FLAIR MR.
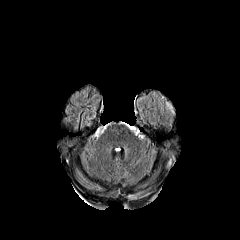
T1-weighted MR.
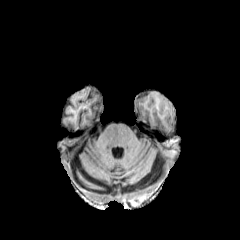
Post-contrast T1-weighted magnetic resonance.
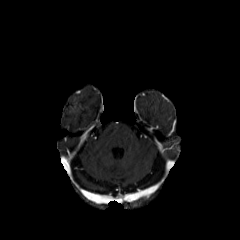
T2-weighted MR image.
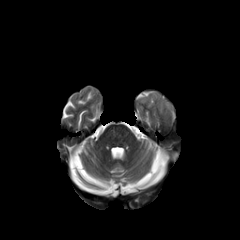
Image size 240x240 | Head
peritumoral edema at (x1=165, y1=101, x2=173, y2=114)